FLAIR MR image.
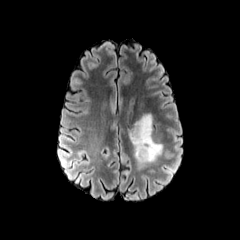
T1-weighted magnetic resonance.
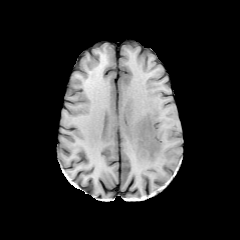
Post-contrast T1-weighted magnetic resonance.
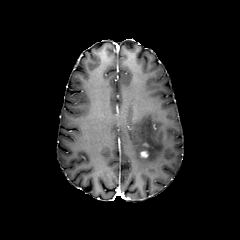
T2-weighted MRI.
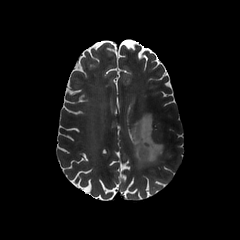
Axial slice; Head; 240x240
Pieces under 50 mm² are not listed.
Segmented structures:
- enhancing tumor: x1=140, y1=150, x2=148, y2=157
- peritumoral edema: x1=127, y1=114, x2=162, y2=170